FLAIR MRI.
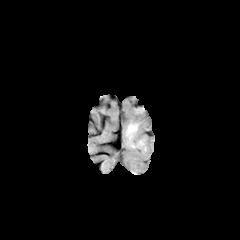
T1-weighted MR image.
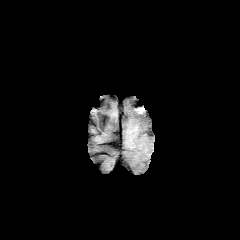
Post-contrast T1-weighted MR image.
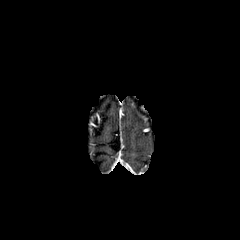
T2-weighted MR image.
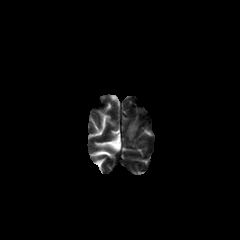
Head, 240x240 px
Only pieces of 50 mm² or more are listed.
The largest peritumoral edema region lies within [x1=126, y1=123, x2=144, y2=147].